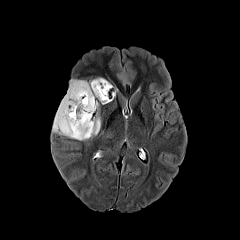
FLAIR magnetic resonance.
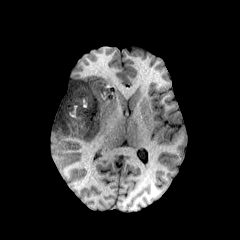
T1-weighted MR of the same slice.
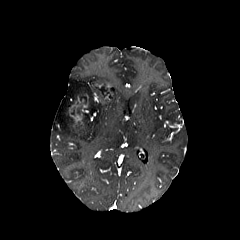
Post-contrast T1-weighted MR of the same slice.
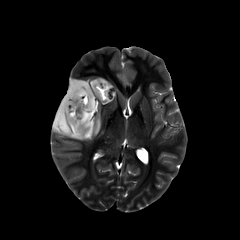
T2-weighted magnetic resonance.
Head
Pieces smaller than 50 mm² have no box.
peritumoral edema = {"x1": 102, "y1": 88, "x2": 116, "y2": 104}, {"x1": 53, "y1": 77, "x2": 108, "y2": 140}
necrotic tumor core = {"x1": 71, "y1": 93, "x2": 96, "y2": 134}, {"x1": 95, "y1": 83, "x2": 109, "y2": 101}
enhancing tumor = {"x1": 81, "y1": 94, "x2": 88, "y2": 111}, {"x1": 93, "y1": 92, "x2": 105, "y2": 103}, {"x1": 68, "y1": 96, "x2": 82, "y2": 127}